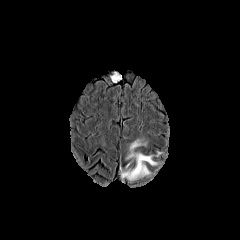
FLAIR MR.
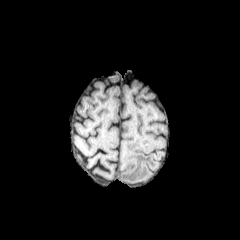
T1-weighted MRI of the same slice.
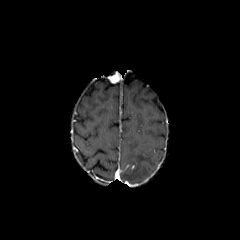
Post-contrast T1-weighted magnetic resonance.
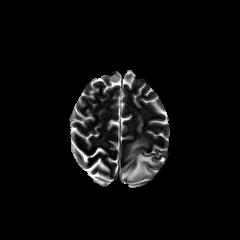
T2-weighted MRI.
Image size 240x240 | Head | Axial slice
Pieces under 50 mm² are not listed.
The largest peritumoral edema region is at left=121, top=139, right=161, bottom=182.